FLAIR MRI.
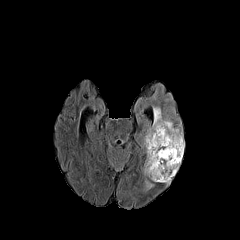
T1-weighted MR.
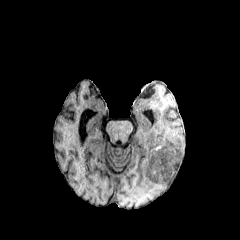
Post-contrast T1-weighted magnetic resonance.
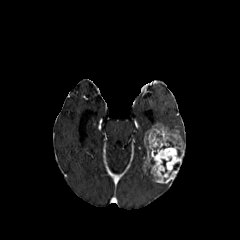
T2-weighted MRI.
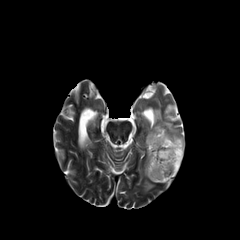
Axial view
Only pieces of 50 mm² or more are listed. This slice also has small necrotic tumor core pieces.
Findings:
* enhancing tumor: (left=144, top=123, right=184, bottom=183)
* peritumoral edema: (left=153, top=108, right=179, bottom=130), (left=145, top=180, right=153, bottom=190), (left=144, top=167, right=152, bottom=179)